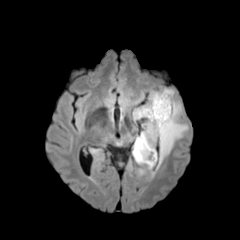
FLAIR MRI.
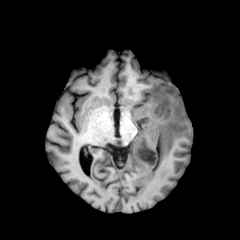
T1-weighted MR image.
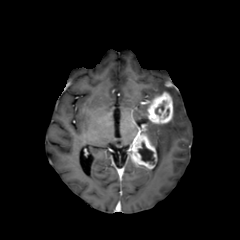
Same slice, post-contrast T1-weighted magnetic resonance.
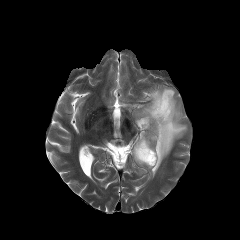
T2-weighted magnetic resonance.
Head | Axial plane
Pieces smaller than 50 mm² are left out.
The 2 largest peritumoral edema regions are located at x1=139, y1=166, x2=150, y2=174; x1=133, y1=88, x2=187, y2=168. The 2 largest enhancing tumor regions are located at x1=147, y1=92, x2=173, y2=124; x1=131, y1=132, x2=156, y2=169. The largest necrotic tumor core region lies within x1=138, y1=142, x2=154, y2=164.